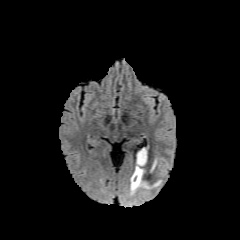
FLAIR MR image.
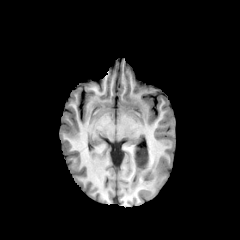
T1-weighted MRI.
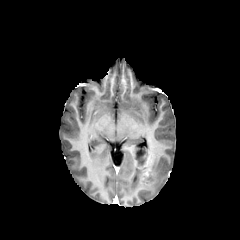
Post-contrast T1-weighted MR image of the same slice.
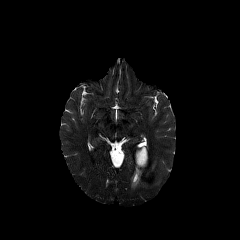
T2-weighted magnetic resonance.
Brain.
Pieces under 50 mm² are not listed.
The largest peritumoral edema region appears at rect(130, 166, 148, 195). The necrotic tumor core is at rect(136, 149, 147, 166). The largest enhancing tumor region is at rect(135, 155, 149, 168).